Axial view; Head; Image size 240x240; Slice 54/155
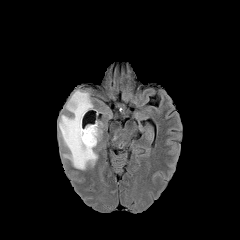
FLAIR magnetic resonance.
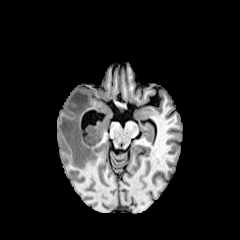
T1-weighted MR image of the same slice.
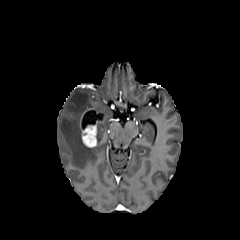
Post-contrast T1-weighted magnetic resonance.
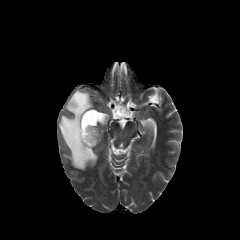
T2-weighted MRI.
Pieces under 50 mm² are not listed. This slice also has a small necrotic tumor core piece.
{
  "enhancing_tumor": [
    "x1=79, y1=109, x2=97, y2=147"
  ],
  "peritumoral_edema": [
    "x1=58, y1=90, x2=97, y2=169"
  ]
}